FLAIR MR image.
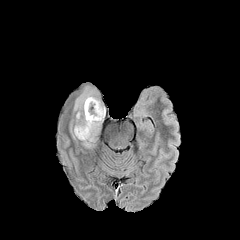
T1-weighted MR.
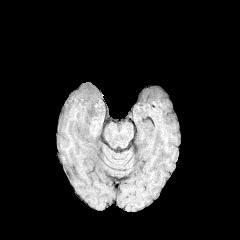
Post-contrast T1-weighted magnetic resonance.
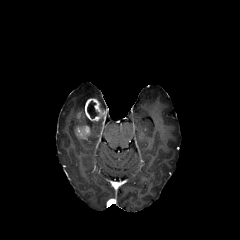
T2-weighted MR image.
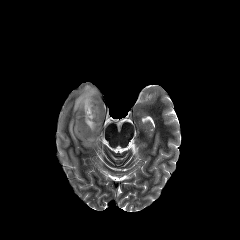
Axial view. Brain.
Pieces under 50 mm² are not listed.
necrotic tumor core = x1=87 y1=101 x2=98 y2=118
peritumoral edema = x1=70 y1=85 x2=105 y2=147
enhancing tumor = x1=85 y1=98 x2=105 y2=120, x1=75 y1=125 x2=90 y2=139